Slice 78 of 155; Axial plane
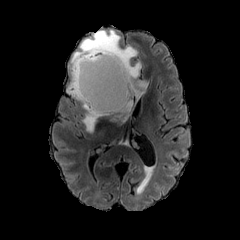
FLAIR magnetic resonance.
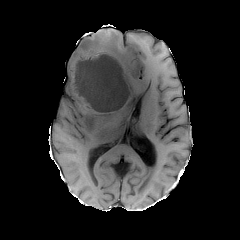
Same slice, T1-weighted MRI.
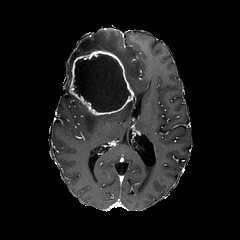
Post-contrast T1-weighted magnetic resonance of the same slice.
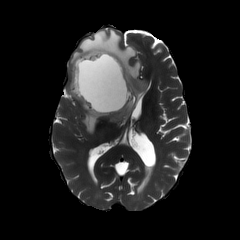
T2-weighted MRI.
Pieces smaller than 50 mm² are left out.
{"enhancing_tumor": ["rect(69, 50, 133, 115)"], "peritumoral_edema": ["rect(67, 29, 147, 132)"], "necrotic_tumor_core": ["rect(74, 53, 129, 112)"]}